FLAIR MR image.
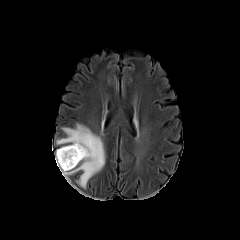
T1-weighted magnetic resonance.
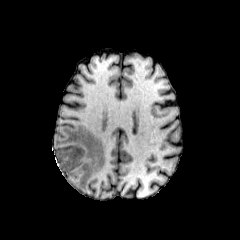
Post-contrast T1-weighted magnetic resonance.
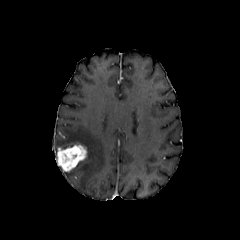
T2-weighted MR.
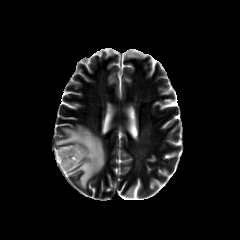
240x240 px. Axial slice.
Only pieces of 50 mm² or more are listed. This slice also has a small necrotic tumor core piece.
Findings:
* enhancing tumor: 56,143,87,171
* peritumoral edema: 56,124,105,188